FLAIR MR.
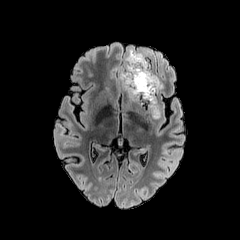
T1-weighted MR image.
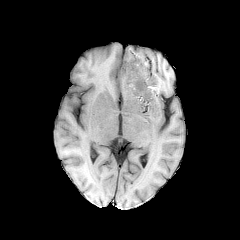
Post-contrast T1-weighted MR image.
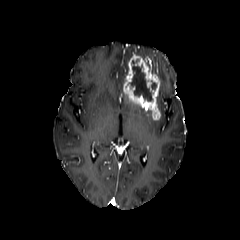
T2-weighted magnetic resonance.
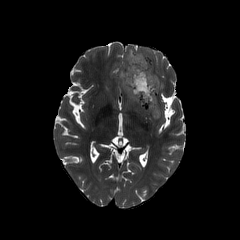
Head
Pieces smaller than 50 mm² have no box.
necrotic tumor core: region(130, 59, 151, 101)
peritumoral edema: region(119, 47, 145, 90)
enhancing tumor: region(123, 54, 160, 119)